Axial view | 240x240 | Head
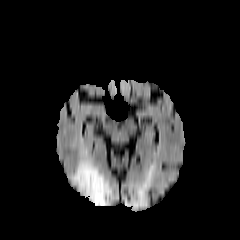
FLAIR magnetic resonance.
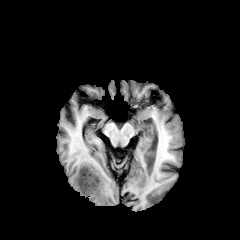
T1-weighted MR image.
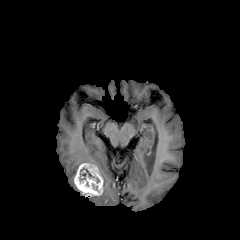
Post-contrast T1-weighted magnetic resonance of the same slice.
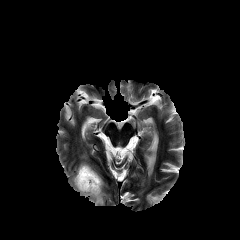
T2-weighted MR image of the same slice.
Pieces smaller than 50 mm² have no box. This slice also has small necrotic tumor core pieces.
enhancing tumor: 74 163 103 196
peritumoral edema: 71 151 94 184, 89 171 112 205